FLAIR magnetic resonance.
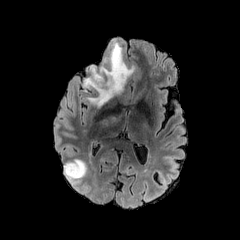
T1-weighted magnetic resonance.
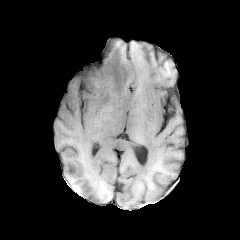
Post-contrast T1-weighted MRI.
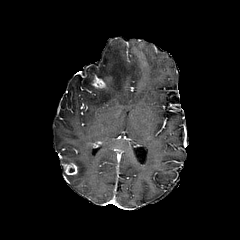
T2-weighted MR.
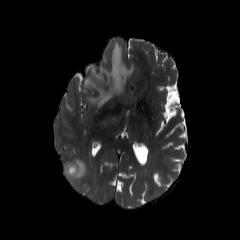
Axial slice; Brain
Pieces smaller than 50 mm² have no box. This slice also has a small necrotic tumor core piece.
peritumoral edema: box=[64, 159, 87, 178]; box=[82, 40, 133, 107] | enhancing tumor: box=[65, 165, 76, 175]; box=[92, 74, 108, 88]